FLAIR magnetic resonance.
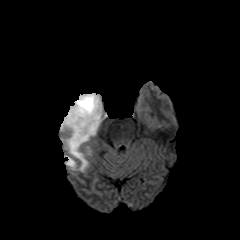
T1-weighted magnetic resonance.
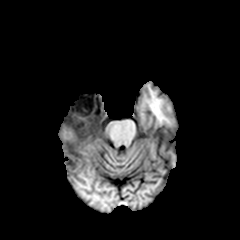
Post-contrast T1-weighted MRI.
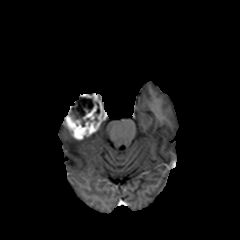
T2-weighted magnetic resonance.
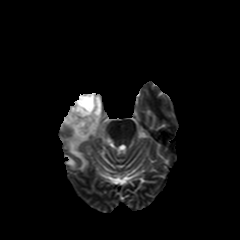
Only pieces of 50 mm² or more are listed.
The largest necrotic tumor core region is located at (71, 97, 93, 126). The 2 largest peritumoral edema regions are bounded by (65, 156, 76, 169), (65, 134, 89, 171). The enhancing tumor is at (63, 93, 106, 140).